FLAIR MRI.
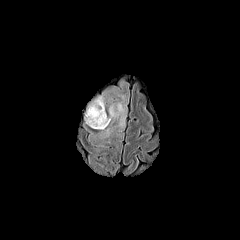
T1-weighted MR image.
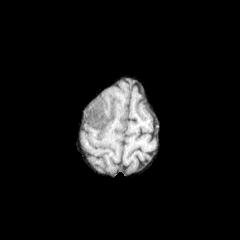
Post-contrast T1-weighted MRI.
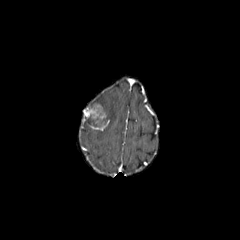
T2-weighted MR.
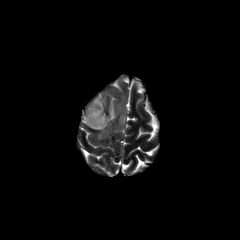
Axial plane.
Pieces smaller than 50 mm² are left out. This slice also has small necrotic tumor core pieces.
The enhancing tumor is located at [84, 103, 109, 130]. The 2 largest peritumoral edema regions appear at [99, 95, 126, 137], [89, 96, 105, 111].